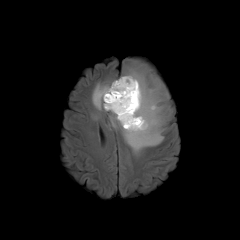
FLAIR magnetic resonance.
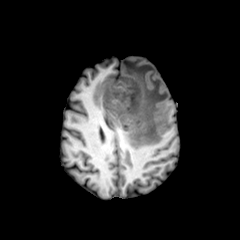
T1-weighted magnetic resonance.
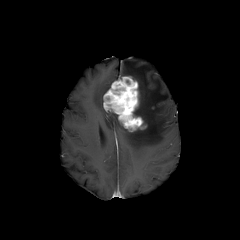
Post-contrast T1-weighted MRI.
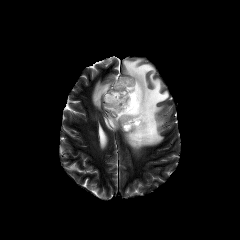
T2-weighted MRI.
240x240
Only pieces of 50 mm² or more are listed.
<segmentation>
  <necrotic_tumor_core>105:92:119:102</necrotic_tumor_core>
  <enhancing_tumor>103:76:146:131</enhancing_tumor>
  <peritumoral_edema>92:81:113:110, 109:61:171:154</peritumoral_edema>
</segmentation>